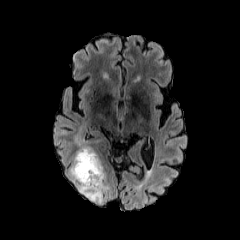
FLAIR MR image.
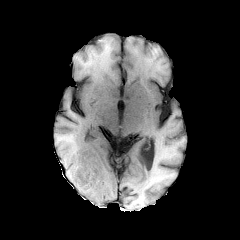
T1-weighted MR.
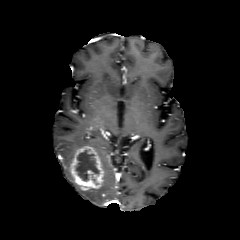
Post-contrast T1-weighted MR image.
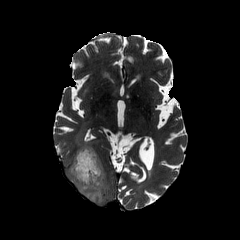
T2-weighted MR image.
Image size 240x240.
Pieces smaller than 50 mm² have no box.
The enhancing tumor lies within {"x1": 70, "y1": 146, "x2": 103, "y2": 190}. The largest peritumoral edema region is located at {"x1": 67, "y1": 168, "x2": 109, "y2": 204}. The necrotic tumor core is bounded by {"x1": 75, "y1": 150, "x2": 98, "y2": 180}.